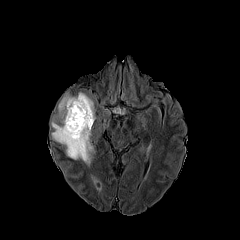
FLAIR MR image.
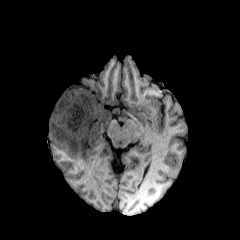
T1-weighted MRI.
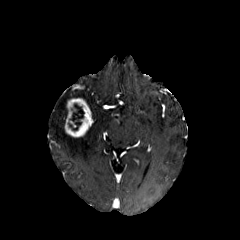
Post-contrast T1-weighted MRI.
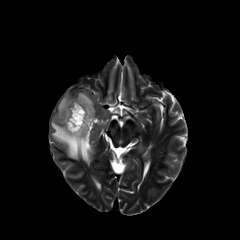
Same slice, T2-weighted magnetic resonance.
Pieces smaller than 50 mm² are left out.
enhancing_tumor:
  - box(64, 97, 93, 137)
necrotic_tumor_core:
  - box(68, 103, 84, 130)
peritumoral_edema:
  - box(51, 92, 95, 165)